FLAIR MR.
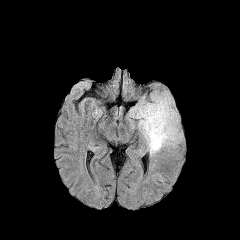
T1-weighted MRI.
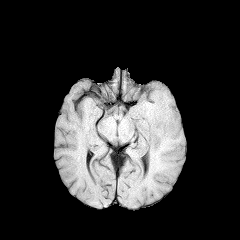
Post-contrast T1-weighted magnetic resonance.
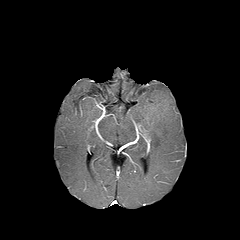
T2-weighted MR image.
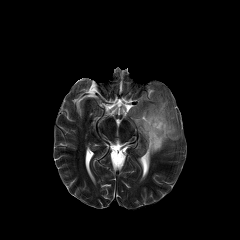
Axial plane
peritumoral edema: [130, 93, 182, 155]